Axial plane.
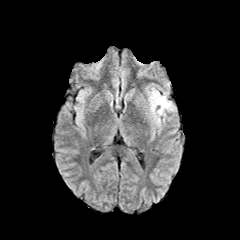
FLAIR MR image.
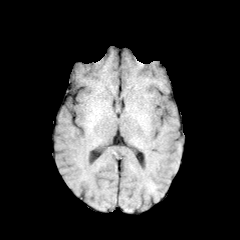
T1-weighted MRI.
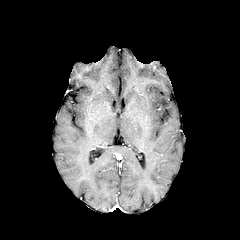
Post-contrast T1-weighted MRI.
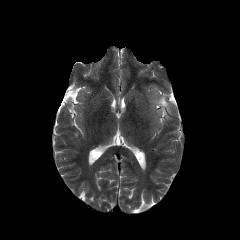
T2-weighted MRI of the same slice.
The peritumoral edema is bounded by (150, 90, 172, 115).